Image size 240x240
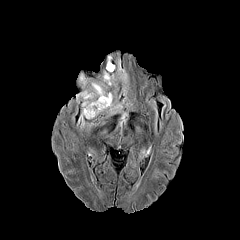
FLAIR MR.
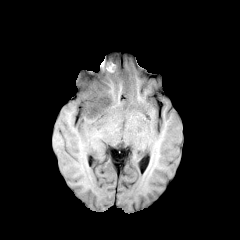
Same slice, T1-weighted MR.
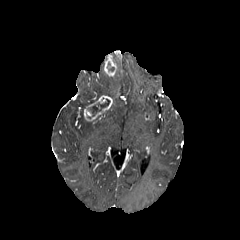
Post-contrast T1-weighted MR.
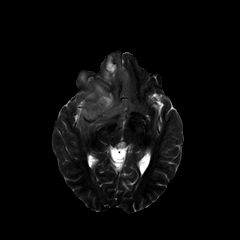
T2-weighted MRI of the same slice.
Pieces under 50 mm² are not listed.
2 enhancing tumor regions are bounded by 104,55,116,76; 83,95,112,120. The largest necrotic tumor core region is bounded by 89,99,110,116. The 4 largest peritumoral edema regions appear at 105,100,127,126; 103,51,127,85; 79,90,99,128; 91,82,113,99.